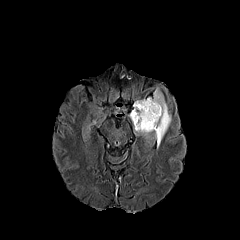
FLAIR MRI.
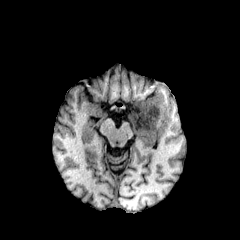
T1-weighted MRI.
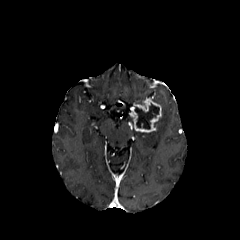
Same slice, post-contrast T1-weighted MRI.
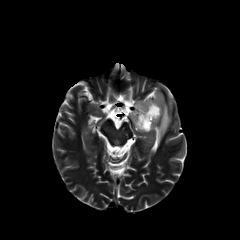
Same slice, T2-weighted MRI.
Image size 240x240, Axial view
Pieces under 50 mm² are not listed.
enhancing tumor — x1=130, y1=98, x2=161, y2=132
peritumoral edema — x1=134, y1=87, x2=171, y2=147
necrotic tumor core — x1=135, y1=103, x2=159, y2=129